Brain; Image width 240 mm; Slice 32/155; 240x240
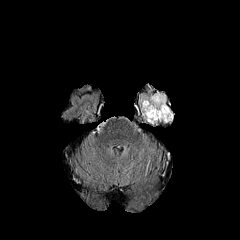
FLAIR MR image.
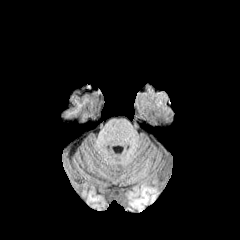
T1-weighted magnetic resonance.
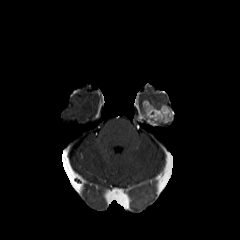
Same slice, post-contrast T1-weighted MR image.
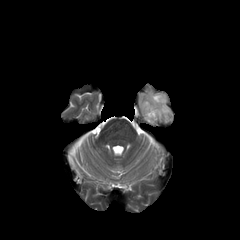
T2-weighted MR of the same slice.
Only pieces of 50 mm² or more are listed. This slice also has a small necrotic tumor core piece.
enhancing_tumor:
  - [141,100,173,125]
peritumoral_edema:
  - [139,93,166,113]